Image size 240x240, Image width 240 mm, 1.00 mm slice spacing
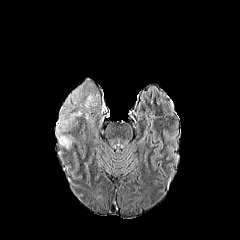
FLAIR MR.
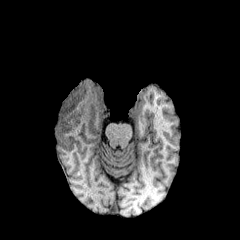
T1-weighted MR image of the same slice.
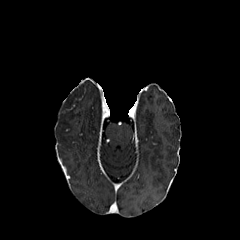
Post-contrast T1-weighted MRI.
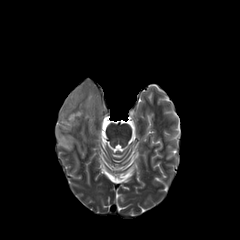
T2-weighted MR image.
<segmentation>
  <peritumoral_edema>56,86,83,150; 79,91,99,125</peritumoral_edema>
</segmentation>